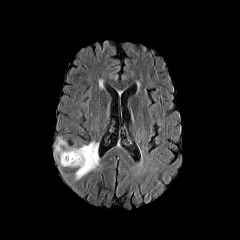
FLAIR MRI.
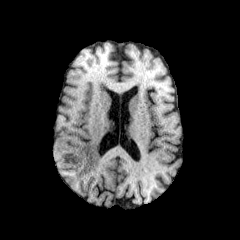
T1-weighted magnetic resonance.
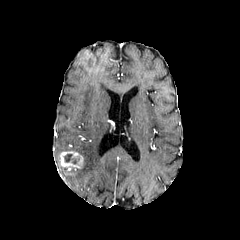
Post-contrast T1-weighted MR of the same slice.
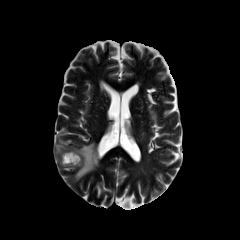
Same slice, T2-weighted MR image.
<segmentation>
  <enhancing_tumor>l=59, t=151, r=83, b=168</enhancing_tumor>
  <necrotic_tumor_core>l=64, t=154, r=77, b=164</necrotic_tumor_core>
  <peritumoral_edema>l=55, t=138, r=66, b=154; l=67, t=142, r=98, b=179</peritumoral_edema>
</segmentation>